Slice 127 of 155 | Head | Image width 240 mm, 1.00 mm slice spacing
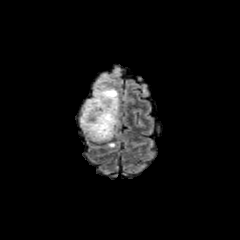
FLAIR MRI.
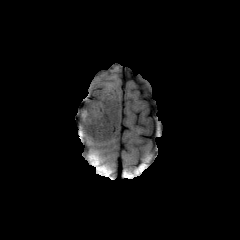
T1-weighted MR.
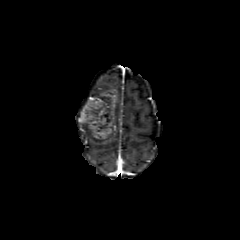
Post-contrast T1-weighted MRI of the same slice.
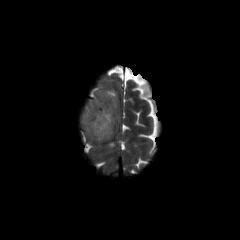
T2-weighted MR image.
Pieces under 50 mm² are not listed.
necrotic tumor core: (97, 108, 111, 131) | enhancing tumor: (79, 89, 118, 138) | peritumoral edema: (80, 124, 114, 141), (115, 103, 119, 127), (89, 86, 116, 97)